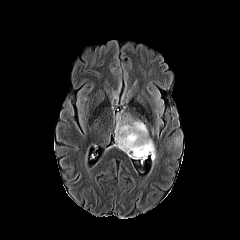
FLAIR MRI.
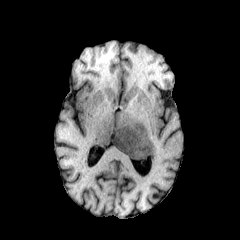
Same slice, T1-weighted MRI.
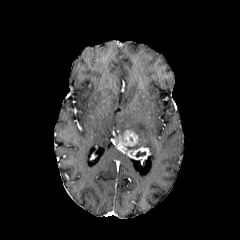
Post-contrast T1-weighted MR image.
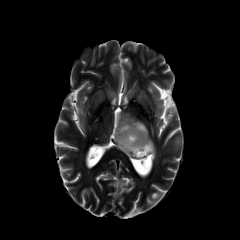
T2-weighted MR of the same slice.
Brain, Axial slice
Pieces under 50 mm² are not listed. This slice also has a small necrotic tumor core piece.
Annotated regions:
* peritumoral edema: x1=116 y1=115 x2=155 y2=160
* enhancing tumor: x1=115 y1=130 x2=150 y2=160